Head
FLAIR MR.
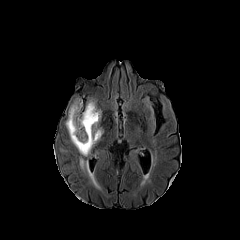
T1-weighted MRI.
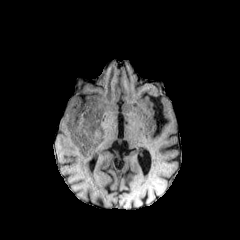
Post-contrast T1-weighted MR.
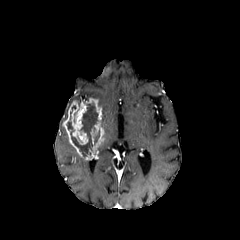
T2-weighted MRI.
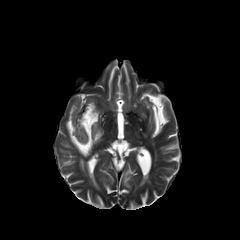
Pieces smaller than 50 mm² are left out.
{"enhancing_tumor": ["bbox(63, 98, 103, 160)"], "necrotic_tumor_core": ["bbox(67, 104, 98, 156)"], "peritumoral_edema": ["bbox(79, 157, 99, 188)"]}